FLAIR MRI.
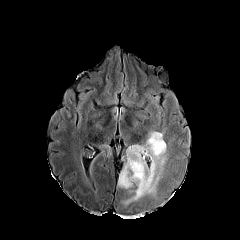
T1-weighted magnetic resonance.
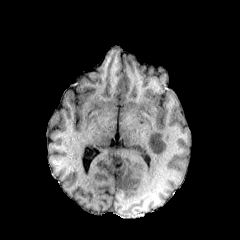
Post-contrast T1-weighted MR image.
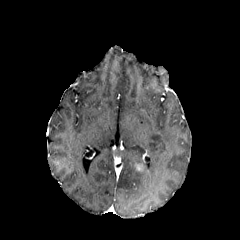
T2-weighted MR image.
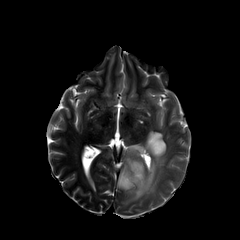
Head, 240x240, Axial slice
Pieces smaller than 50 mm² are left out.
Findings:
- enhancing tumor: [134, 163, 143, 171]
- necrotic tumor core: [151, 140, 159, 152]
- peritumoral edema: [118, 131, 166, 200]